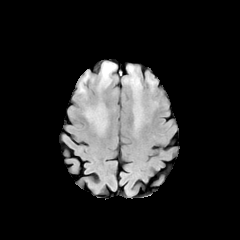
FLAIR MR.
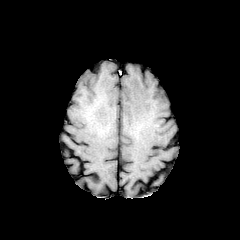
T1-weighted MR image.
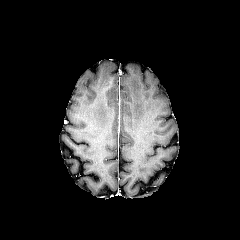
Post-contrast T1-weighted MRI of the same slice.
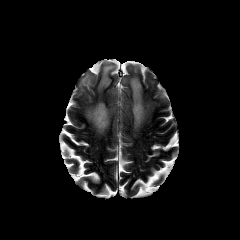
Same slice, T2-weighted MR.
Image size 240x240 | Axial slice
Annotated regions:
- peritumoral edema: l=147, t=76, r=155, b=90; l=79, t=71, r=93, b=93; l=97, t=61, r=116, b=91; l=86, t=103, r=108, b=132; l=123, t=65, r=146, b=128